FLAIR MR image.
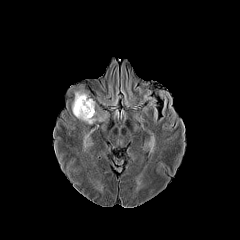
T1-weighted MR.
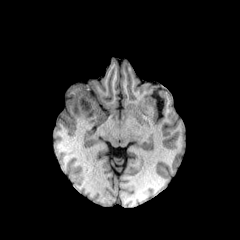
Post-contrast T1-weighted MR image.
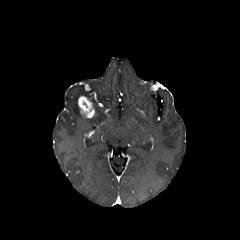
T2-weighted MR image.
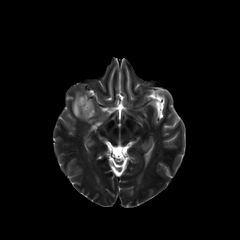
Axial slice. Head.
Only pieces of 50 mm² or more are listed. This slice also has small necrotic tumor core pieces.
{"peritumoral_edema": ["72, 91, 107, 124"], "enhancing_tumor": ["78, 96, 95, 117"]}